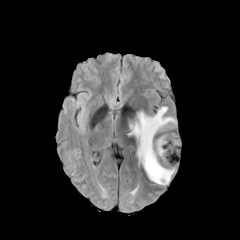
FLAIR MRI.
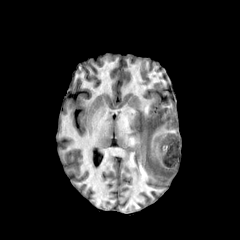
T1-weighted MR.
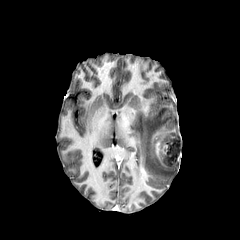
Post-contrast T1-weighted MRI of the same slice.
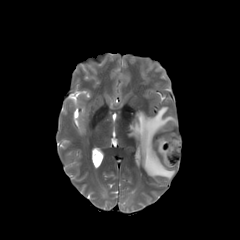
T2-weighted magnetic resonance.
Image size 240x240 | Axial plane | Head
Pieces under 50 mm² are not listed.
The peritumoral edema is at 127, 107, 176, 185. The largest enhancing tumor region is at 155, 134, 175, 168. The necrotic tumor core is bounded by 160, 135, 180, 165.